240x240 px. Slice 104/155. Image width 240 mm, 1.00 mm slice spacing. Axial slice. Brain.
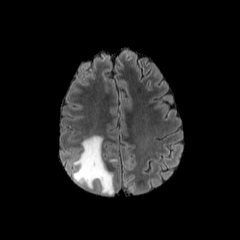
FLAIR magnetic resonance.
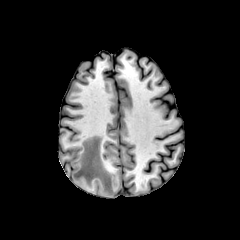
T1-weighted MRI.
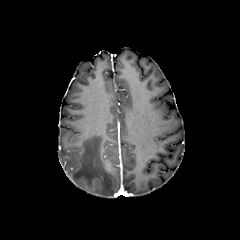
Same slice, post-contrast T1-weighted MR.
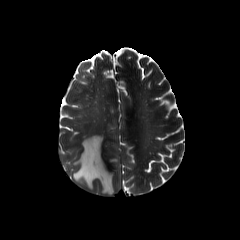
T2-weighted MR image of the same slice.
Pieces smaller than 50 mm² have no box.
Segmented structures:
* peritumoral edema: (x1=72, y1=135, x2=116, y2=195)